Axial slice | Slice index 74
FLAIR MRI.
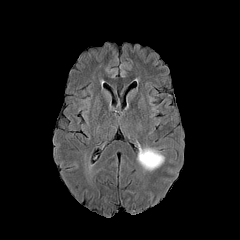
T1-weighted magnetic resonance.
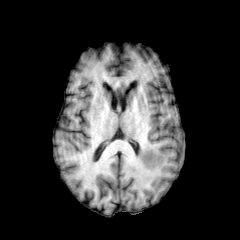
Post-contrast T1-weighted magnetic resonance.
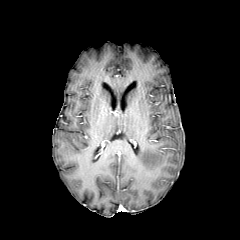
T2-weighted MR image.
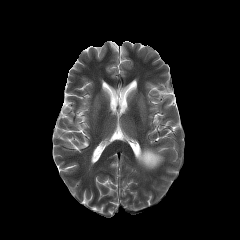
peritumoral edema = left=137, top=148, right=164, bottom=170